Slice 113 of 155; Head; Image covers 240 mm x 240 mm; Image size 240x240
FLAIR magnetic resonance.
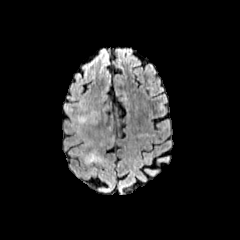
T1-weighted MRI.
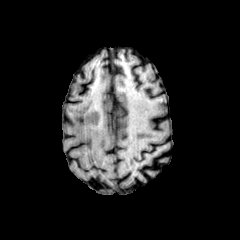
Post-contrast T1-weighted MR image.
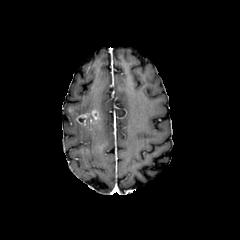
T2-weighted MR.
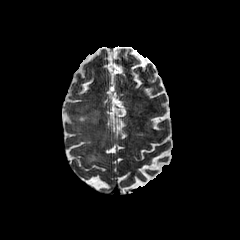
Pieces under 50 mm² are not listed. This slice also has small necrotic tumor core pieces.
enhancing tumor: l=76, t=110, r=99, b=125 | peritumoral edema: l=73, t=124, r=81, b=136; l=84, t=150, r=102, b=163